FLAIR MR image.
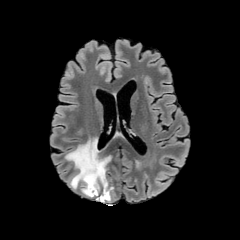
T1-weighted magnetic resonance.
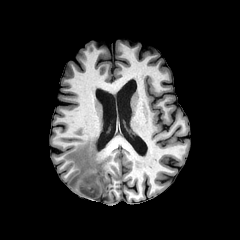
Post-contrast T1-weighted MR.
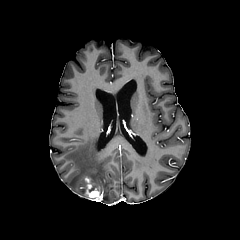
T2-weighted MRI.
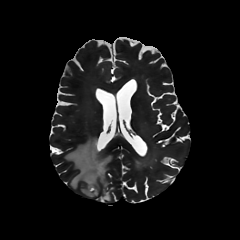
Head; Image size 240x240
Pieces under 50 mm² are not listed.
peritumoral edema at bbox(65, 137, 111, 200)
enhancing tumor at bbox(84, 177, 103, 201)